FLAIR magnetic resonance.
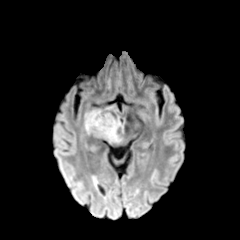
T1-weighted MR.
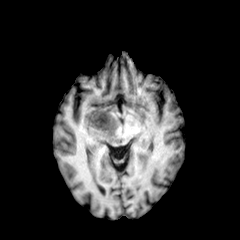
Post-contrast T1-weighted MRI.
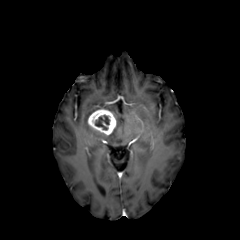
T2-weighted MRI.
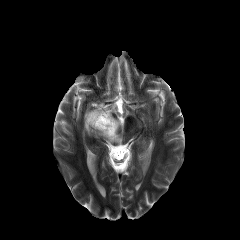
Brain. Axial view.
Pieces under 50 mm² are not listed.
{
  "enhancing_tumor": [
    "(87,108,116,135)"
  ],
  "necrotic_tumor_core": [
    "(95,115,109,129)"
  ],
  "peritumoral_edema": [
    "(84,109,123,143)"
  ]
}